FLAIR MRI.
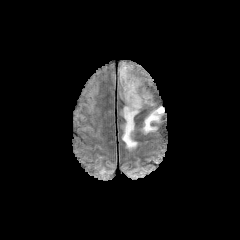
T1-weighted magnetic resonance.
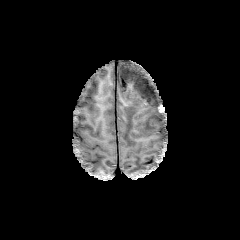
Post-contrast T1-weighted MRI.
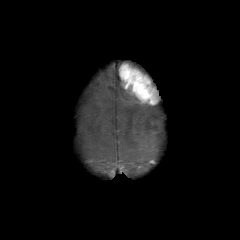
T2-weighted MR image.
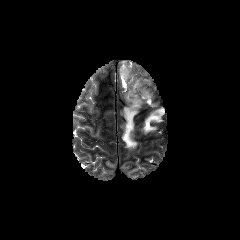
Brain
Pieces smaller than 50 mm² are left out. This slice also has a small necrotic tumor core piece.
enhancing tumor — 119 63 160 105
peritumoral edema — 122 87 162 148, 143 107 163 132